Image width 240 mm
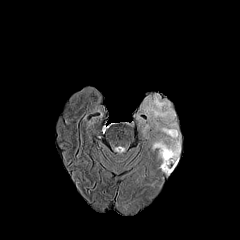
FLAIR MRI.
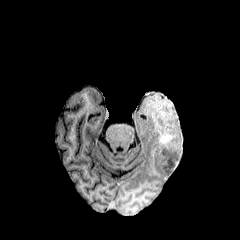
T1-weighted MR image.
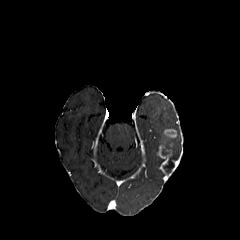
Post-contrast T1-weighted MR of the same slice.
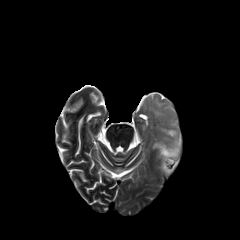
T2-weighted magnetic resonance of the same slice.
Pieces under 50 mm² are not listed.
peritumoral edema: [147, 96, 180, 158] | enhancing tumor: [157, 145, 172, 175], [164, 129, 176, 137], [169, 159, 179, 174] | necrotic tumor core: [163, 154, 177, 174]